Brain
FLAIR MR image.
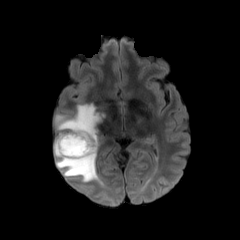
T1-weighted MR.
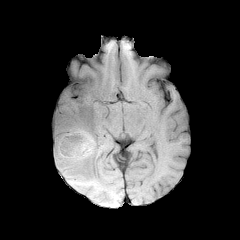
Post-contrast T1-weighted MRI.
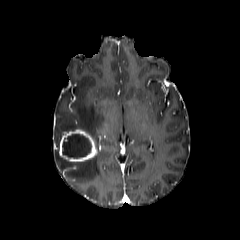
T2-weighted MR image.
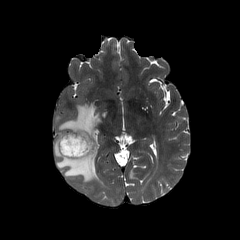
peritumoral_edema:
  - [53, 103, 105, 182]
necrotic_tumor_core:
  - [62, 134, 91, 158]
enhancing_tumor:
  - [57, 129, 100, 162]